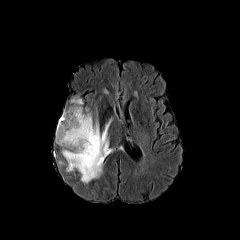
FLAIR magnetic resonance.
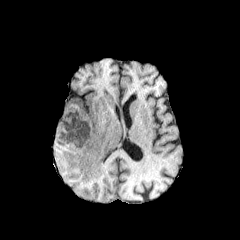
T1-weighted MR.
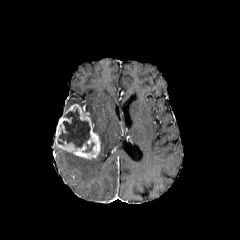
Post-contrast T1-weighted MR image of the same slice.
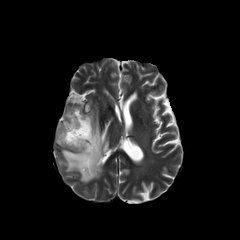
Same slice, T2-weighted MR.
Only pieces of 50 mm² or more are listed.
The 2 largest necrotic tumor core regions are located at (57, 108, 90, 147), (85, 142, 94, 152). The largest enhancing tumor region is at (55, 104, 100, 159). The 2 largest peritumoral edema regions are bounded by (58, 119, 111, 183), (70, 96, 83, 104).